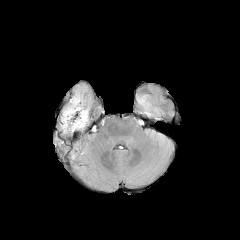
FLAIR magnetic resonance.
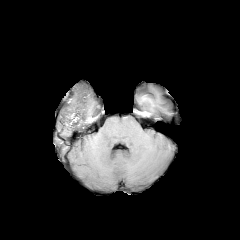
T1-weighted MRI.
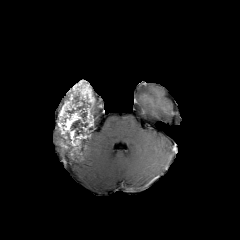
Same slice, post-contrast T1-weighted MR.
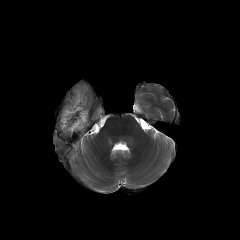
T2-weighted MR.
Axial view. Image size 240x240.
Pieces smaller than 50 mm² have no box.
{
  "enhancing_tumor": [
    {"x1": 58, "y1": 81, "x2": 94, "y2": 150}
  ],
  "peritumoral_edema": [
    {"x1": 77, "y1": 144, "x2": 86, "y2": 154}
  ],
  "necrotic_tumor_core": [
    {"x1": 66, "y1": 100, "x2": 86, "y2": 115},
    {"x1": 71, "y1": 120, "x2": 89, "y2": 139}
  ]
}